FLAIR magnetic resonance.
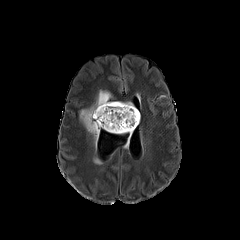
T1-weighted MR.
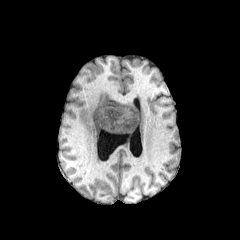
Post-contrast T1-weighted MR.
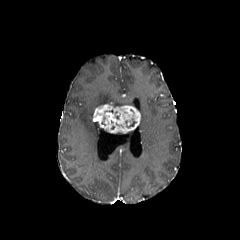
T2-weighted magnetic resonance.
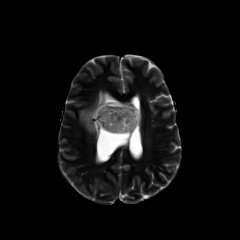
240x240
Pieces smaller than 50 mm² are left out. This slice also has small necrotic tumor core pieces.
- peritumoral edema: <bbox>113, 101, 133, 105</bbox>, <bbox>80, 90, 111, 146</bbox>
- enhancing tumor: <bbox>93, 102, 140, 133</bbox>